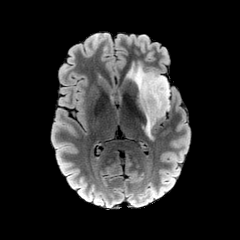
FLAIR MR image.
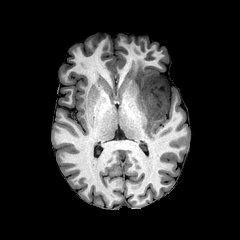
T1-weighted MRI.
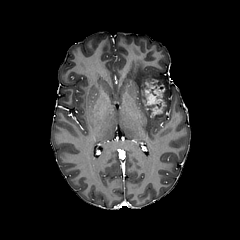
Same slice, post-contrast T1-weighted MR.
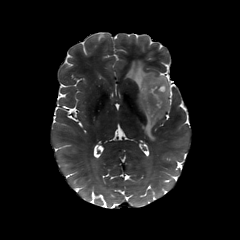
Same slice, T2-weighted MR image.
Image size 240x240
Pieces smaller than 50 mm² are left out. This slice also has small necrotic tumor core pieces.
The enhancing tumor is located at l=141, t=79, r=166, b=117. The peritumoral edema is bounded by l=126, t=62, r=169, b=139.